Axial plane, 240x240 px
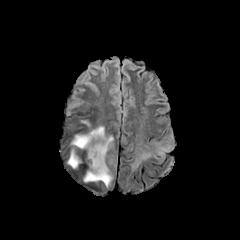
FLAIR MRI.
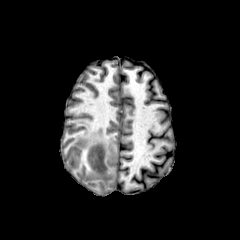
T1-weighted MR of the same slice.
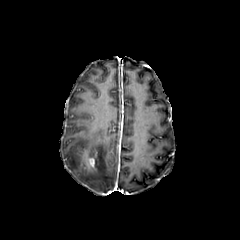
Same slice, post-contrast T1-weighted MRI.
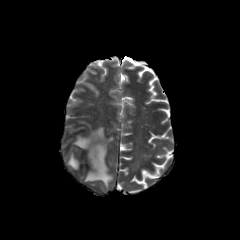
T2-weighted magnetic resonance.
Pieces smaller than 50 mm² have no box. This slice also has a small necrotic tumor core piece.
The largest enhancing tumor region is located at x1=88, y1=158, x2=94, y2=167. The largest peritumoral edema region is bounded by x1=67, y1=126, x2=113, y2=187.